Slice 61/155
FLAIR magnetic resonance.
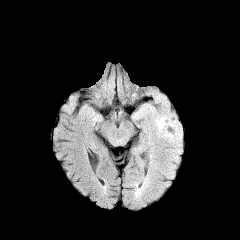
T1-weighted MR image.
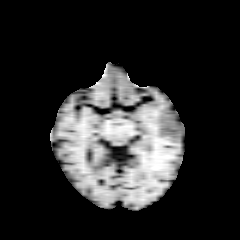
Post-contrast T1-weighted MRI.
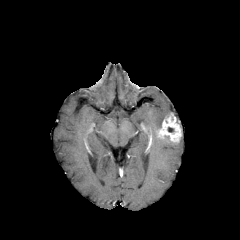
T2-weighted MRI.
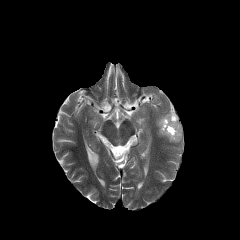
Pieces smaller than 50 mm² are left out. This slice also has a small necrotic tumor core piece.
Segmented structures:
* peritumoral edema: box=[156, 114, 167, 129]
* enhancing tumor: box=[158, 112, 182, 142]